FLAIR magnetic resonance.
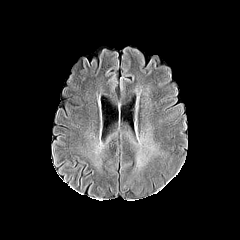
T1-weighted MR image.
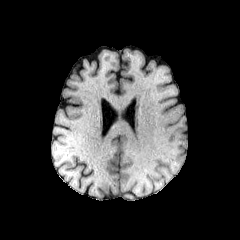
Post-contrast T1-weighted MRI.
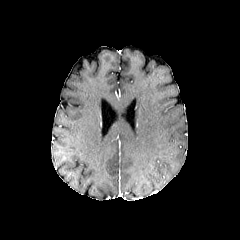
T2-weighted MR image.
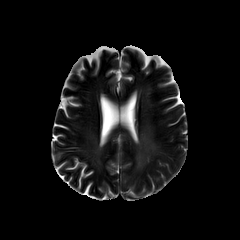
peritumoral edema: bounding box [135,152,148,167], [145,145,155,152]